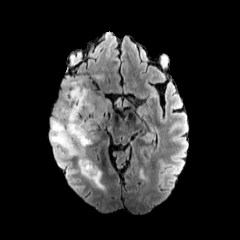
FLAIR magnetic resonance.
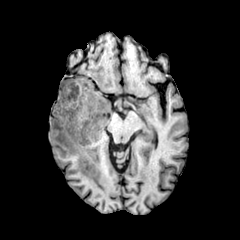
Same slice, T1-weighted MR.
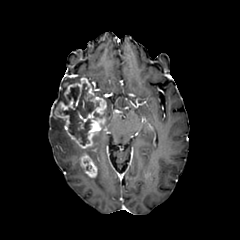
Post-contrast T1-weighted MR.
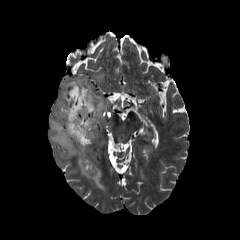
T2-weighted MR image.
Brain; Axial view; 240x240 px
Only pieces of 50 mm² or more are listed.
necrotic tumor core: left=58, top=84, right=98, bottom=145 | peritumoral edema: left=62, top=77, right=80, bottom=86; left=139, top=167, right=150, bottom=178; left=50, top=114, right=103, bottom=188 | enhancing tumor: left=80, top=153, right=97, bottom=177; left=54, top=77, right=106, bottom=148